FLAIR magnetic resonance.
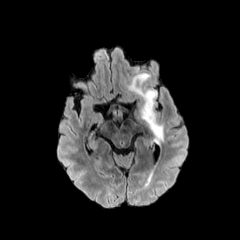
T1-weighted magnetic resonance.
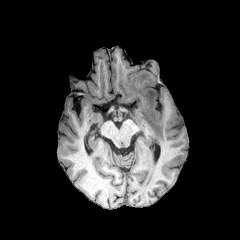
Post-contrast T1-weighted magnetic resonance.
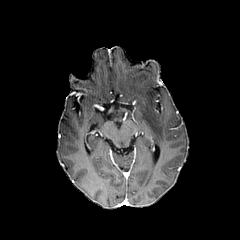
T2-weighted magnetic resonance.
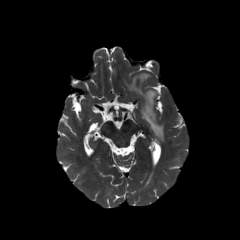
Image size 240x240; Axial slice
Segmented structures:
* peritumoral edema: 128, 73, 163, 143